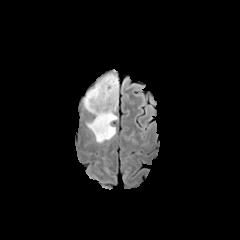
FLAIR MR.
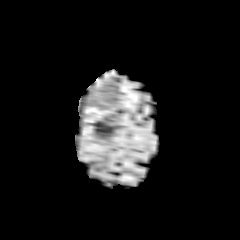
T1-weighted MR.
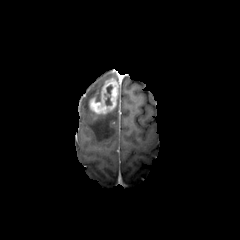
Post-contrast T1-weighted MRI of the same slice.
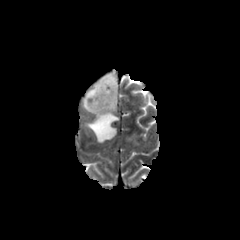
Same slice, T2-weighted magnetic resonance.
Head, 240x240 px
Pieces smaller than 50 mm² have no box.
enhancing tumor at (x1=90, y1=78, x2=118, y2=113)
peritumoral edema at (x1=84, y1=73, x2=116, y2=112), (x1=87, y1=111, x2=116, y2=142)
necrotic tumor core at (x1=104, y1=85, x2=112, y2=105)